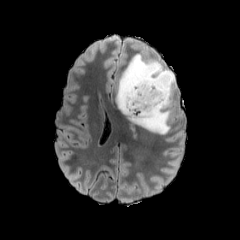
FLAIR magnetic resonance.
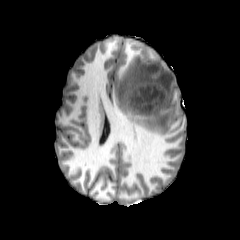
T1-weighted magnetic resonance of the same slice.
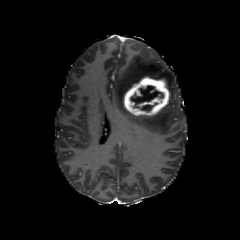
Post-contrast T1-weighted MRI of the same slice.
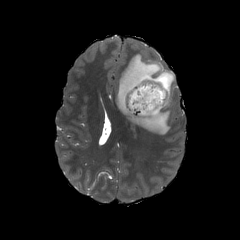
T2-weighted MR image of the same slice.
Axial slice, Head
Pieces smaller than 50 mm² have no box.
The 2 largest necrotic tumor core regions appear at <box>140,105,154,111</box>, <box>131,85,163,107</box>. The peritumoral edema is at <box>115,54,176,134</box>. The largest enhancing tumor region is at <box>122,76,170,116</box>.